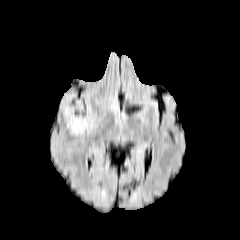
FLAIR MRI.
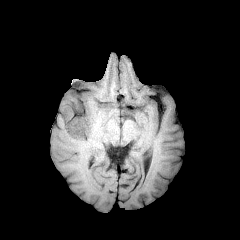
T1-weighted MR of the same slice.
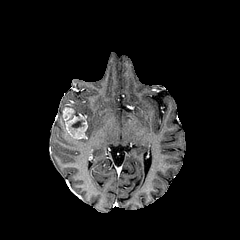
Post-contrast T1-weighted MRI of the same slice.
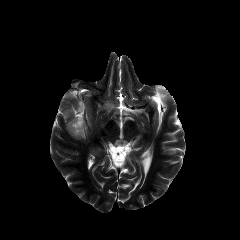
T2-weighted magnetic resonance of the same slice.
Axial plane, 240x240 px, Head
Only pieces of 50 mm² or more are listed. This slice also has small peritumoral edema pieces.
enhancing tumor: bounding box x1=63, y1=107, x2=87, y2=138
necrotic tumor core: bounding box x1=71, y1=120, x2=84, y2=128